FLAIR MRI.
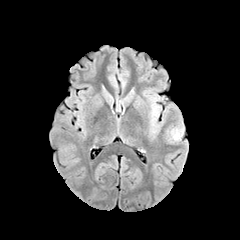
T1-weighted MRI.
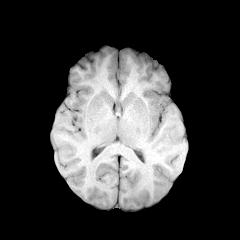
Post-contrast T1-weighted MR.
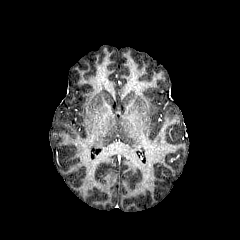
T2-weighted MR image.
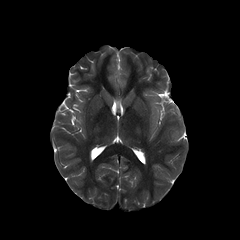
Image size 240x240, Brain
The peritumoral edema is bounded by box=[170, 128, 183, 142].